Brain. Axial slice.
FLAIR MRI.
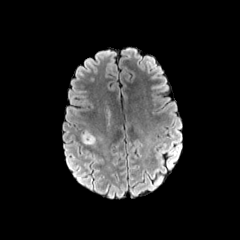
T1-weighted MR image.
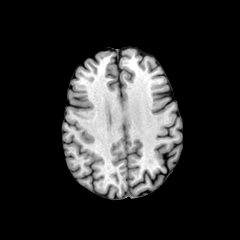
Post-contrast T1-weighted MR image.
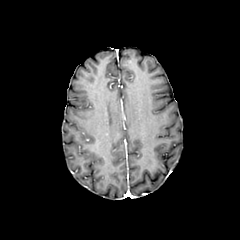
T2-weighted MR image.
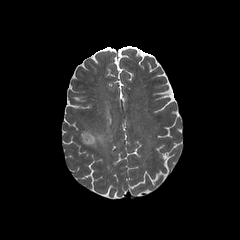
peritumoral edema: bounding box 81 131 95 144